Slice 124/155 | Image size 240x240 | Head
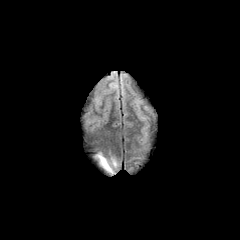
FLAIR MRI.
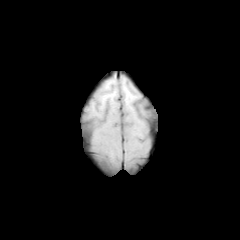
T1-weighted MRI of the same slice.
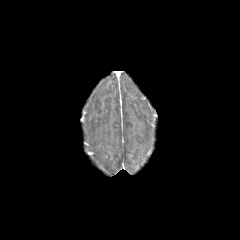
Post-contrast T1-weighted MR image of the same slice.
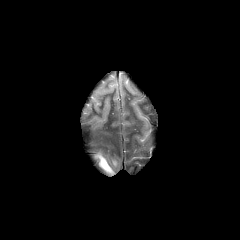
T2-weighted magnetic resonance of the same slice.
The peritumoral edema is bounded by (left=94, top=152, right=118, bottom=175).